Head. Image size 240x240.
FLAIR magnetic resonance.
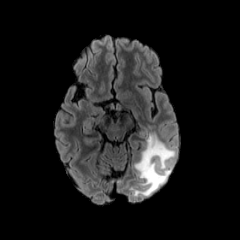
T1-weighted MR.
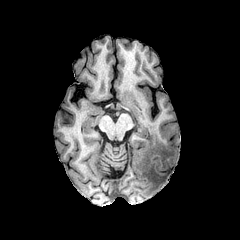
Post-contrast T1-weighted MR.
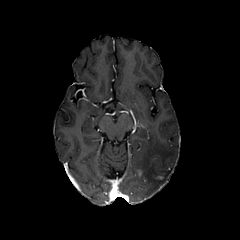
T2-weighted magnetic resonance.
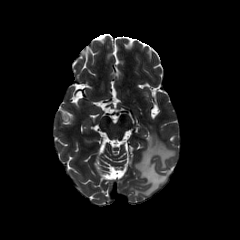
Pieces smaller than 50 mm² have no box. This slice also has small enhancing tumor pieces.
{"peritumoral_edema": ["l=131, t=133, r=175, b=196"]}